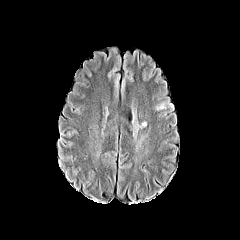
FLAIR magnetic resonance.
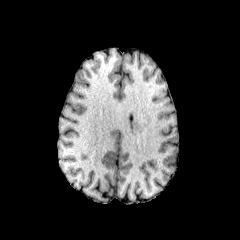
T1-weighted MR of the same slice.
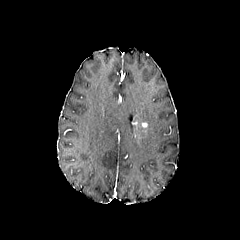
Post-contrast T1-weighted MR image.
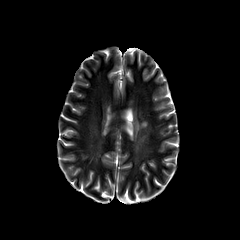
T2-weighted MRI of the same slice.
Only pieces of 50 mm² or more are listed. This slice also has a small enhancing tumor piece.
The largest peritumoral edema region lies within {"x1": 133, "y1": 122, "x2": 142, "y2": 134}.